FLAIR MR.
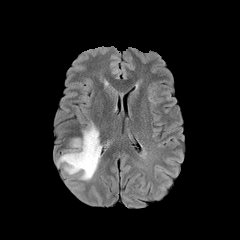
T1-weighted MR.
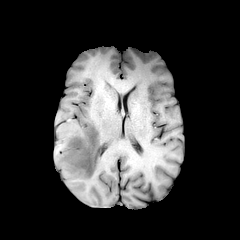
Post-contrast T1-weighted MR image.
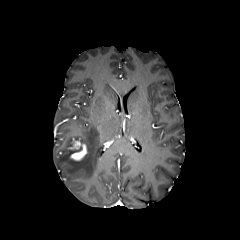
T2-weighted MR.
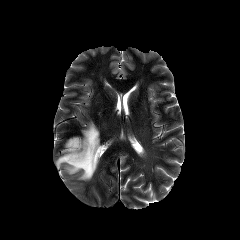
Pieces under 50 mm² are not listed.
The enhancing tumor is located at 69, 139, 87, 160. The largest peritumoral edema region is located at 56, 122, 101, 180.